Head | Image width 240 mm | Slice 60 of 155 | Image size 240x240
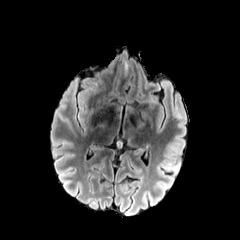
FLAIR magnetic resonance.
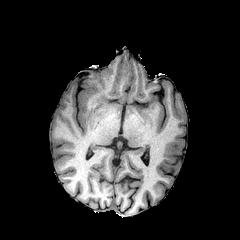
T1-weighted MRI.
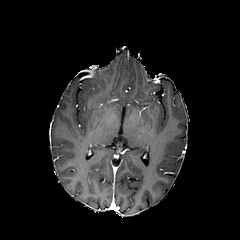
Post-contrast T1-weighted magnetic resonance.
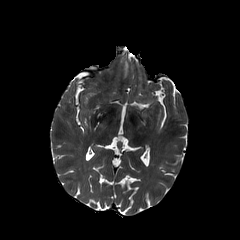
T2-weighted magnetic resonance of the same slice.
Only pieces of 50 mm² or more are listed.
peritumoral_edema:
  - [124, 61, 128, 76]